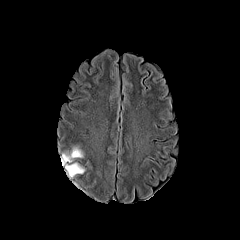
FLAIR MRI.
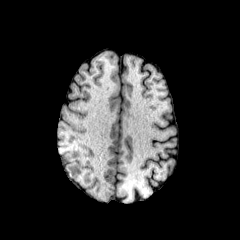
Same slice, T1-weighted MR.
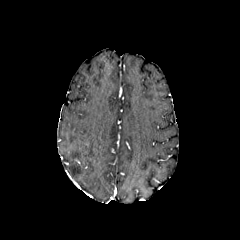
Post-contrast T1-weighted MR.
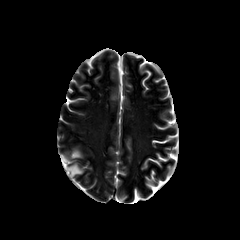
T2-weighted MR image.
Image size 240x240
2 peritumoral edema regions are located at left=62, top=148, right=82, bottom=165; left=65, top=163, right=84, bottom=177.